Slice 73 of 155 | Axial view | Head
FLAIR MR image.
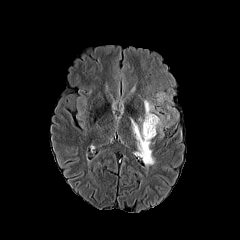
T1-weighted magnetic resonance.
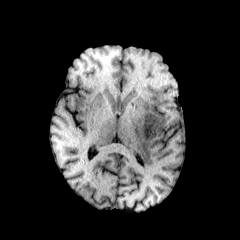
Post-contrast T1-weighted MRI.
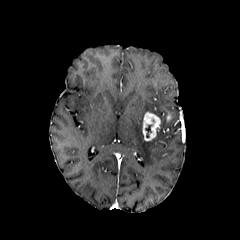
T2-weighted MR image.
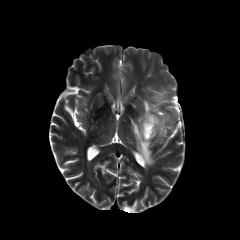
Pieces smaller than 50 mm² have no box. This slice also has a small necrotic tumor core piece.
The largest enhancing tumor region is located at left=142, top=112, right=160, bottom=141. The 2 largest peritumoral edema regions are located at left=144, top=100, right=153, bottom=112; left=131, top=118, right=154, bottom=166.